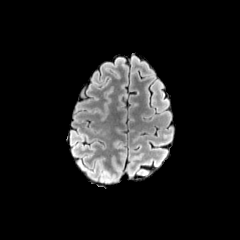
FLAIR MR image.
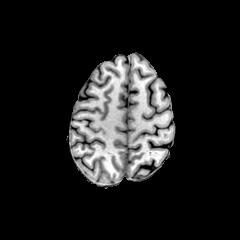
T1-weighted MR image.
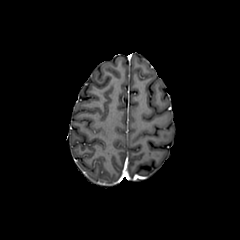
Post-contrast T1-weighted MR.
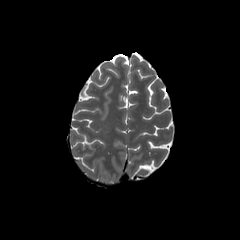
T2-weighted MR.
240x240 px
Annotated regions:
* peritumoral edema: (x1=100, y1=179, x2=111, y2=184)